Image size 240x240. Slice index 87.
FLAIR MR image.
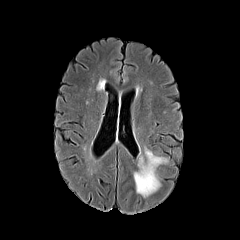
T1-weighted MRI.
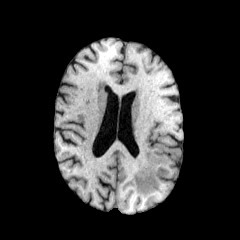
Post-contrast T1-weighted MRI.
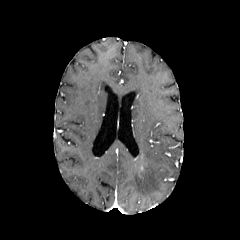
T2-weighted MRI.
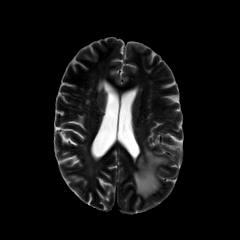
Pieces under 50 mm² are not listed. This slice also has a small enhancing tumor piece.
The peritumoral edema is bounded by (x1=134, y1=147, x2=167, y2=197).